Axial plane. Head.
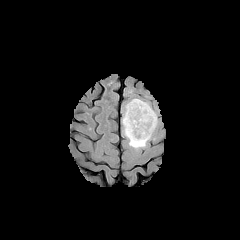
FLAIR magnetic resonance.
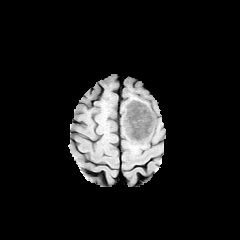
T1-weighted magnetic resonance.
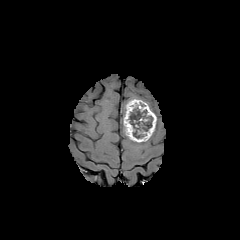
Same slice, post-contrast T1-weighted MR.
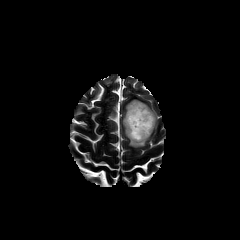
Same slice, T2-weighted magnetic resonance.
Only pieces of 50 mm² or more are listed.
peritumoral edema — (x1=122, y1=105, x2=148, y2=148)
enhancing tumor — (x1=123, y1=99, x2=156, y2=142)
necrotic tumor core — (x1=129, y1=107, x2=141, y2=128), (x1=145, y1=116, x2=152, y2=131)